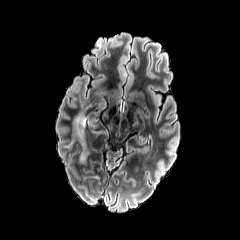
FLAIR MR image.
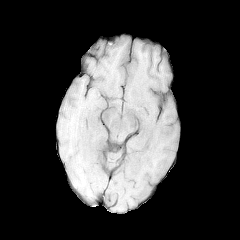
Same slice, T1-weighted magnetic resonance.
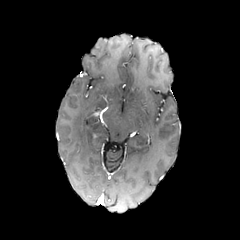
Post-contrast T1-weighted MR image.
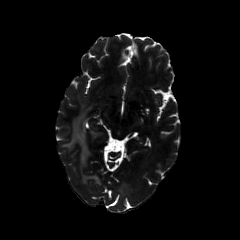
T2-weighted MR.
240x240, Brain
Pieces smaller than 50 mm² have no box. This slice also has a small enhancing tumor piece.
The peritumoral edema appears at <bbox>64, 112, 88, 164</bbox>.